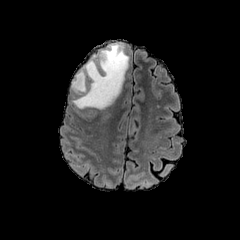
FLAIR MRI.
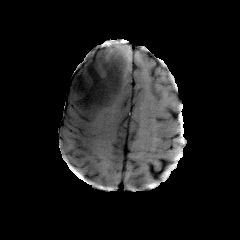
T1-weighted MR image.
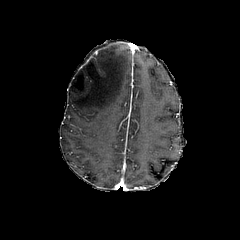
Post-contrast T1-weighted MR image of the same slice.
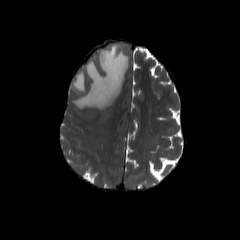
T2-weighted magnetic resonance of the same slice.
Head
peritumoral edema: left=71, top=43, right=129, bottom=109